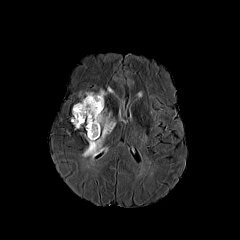
FLAIR MR image.
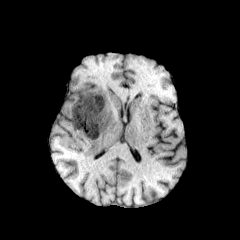
Same slice, T1-weighted MRI.
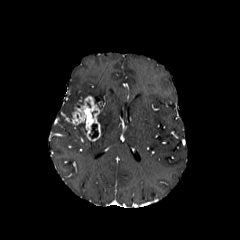
Post-contrast T1-weighted MR of the same slice.
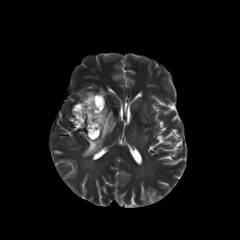
T2-weighted MR image.
240x240. Head.
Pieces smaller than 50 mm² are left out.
{
  "peritumoral_edema": [
    "box=[85, 89, 106, 104]",
    "box=[82, 110, 115, 158]"
  ],
  "enhancing_tumor": [
    "box=[71, 95, 103, 141]"
  ],
  "necrotic_tumor_core": [
    "box=[89, 123, 98, 138]"
  ]
}